FLAIR MRI.
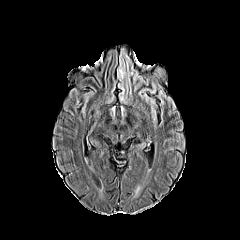
T1-weighted magnetic resonance.
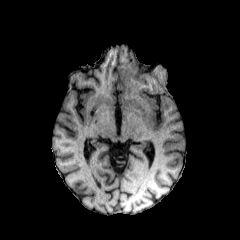
Post-contrast T1-weighted MR image.
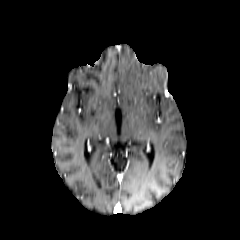
T2-weighted MR image.
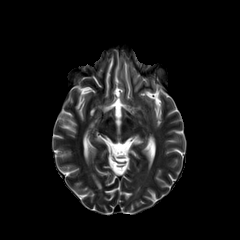
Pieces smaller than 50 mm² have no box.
<segmentation>
  <peritumoral_edema>(x1=121, y1=62, x2=133, y2=92)</peritumoral_edema>
</segmentation>